Axial view; Slice 97/155
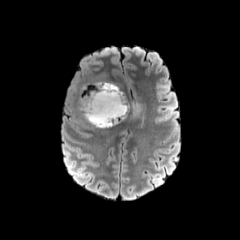
FLAIR MR image.
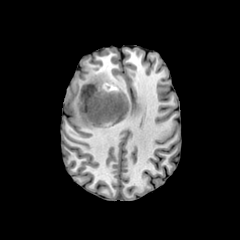
T1-weighted MR image.
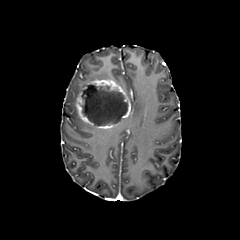
Post-contrast T1-weighted MRI of the same slice.
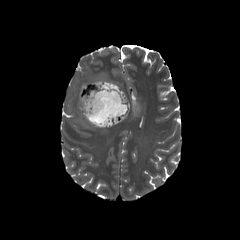
T2-weighted MRI of the same slice.
peritumoral edema: l=129, t=101, r=144, b=119 | necrotic tumor core: l=81, t=84, r=127, b=125 | enhancing tumor: l=76, t=79, r=130, b=128